Slice 101 of 155
FLAIR MR image.
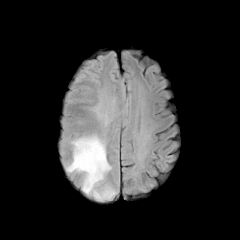
T1-weighted MR image.
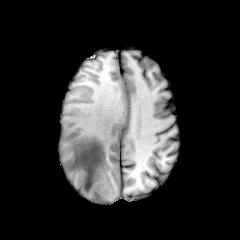
Post-contrast T1-weighted MRI.
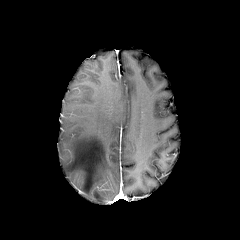
T2-weighted MR.
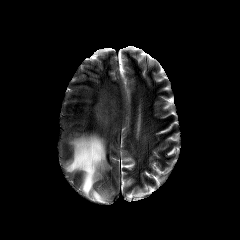
The peritumoral edema lies within box=[66, 134, 115, 201].